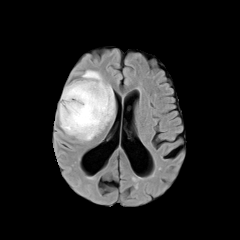
FLAIR magnetic resonance.
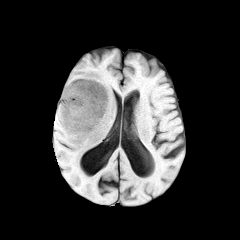
Same slice, T1-weighted MR.
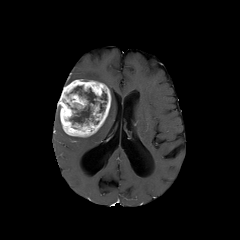
Same slice, post-contrast T1-weighted MRI.
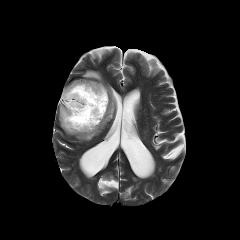
T2-weighted MRI of the same slice.
240x240 px
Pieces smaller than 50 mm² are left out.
- peritumoral edema: x1=75 y1=70 x2=114 y2=141
- necrotic tumor core: x1=70 y1=105 x2=91 y2=123, x1=71 y1=86 x2=96 y2=104
- enhancing tumor: x1=58 y1=79 x2=111 y2=137